FLAIR MR image.
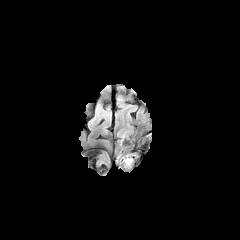
T1-weighted magnetic resonance.
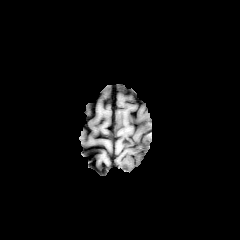
Post-contrast T1-weighted MR.
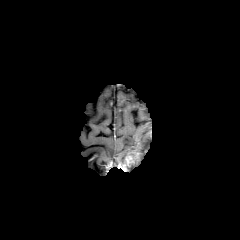
T2-weighted magnetic resonance.
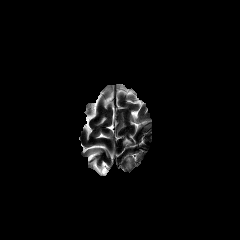
Brain. 240x240.
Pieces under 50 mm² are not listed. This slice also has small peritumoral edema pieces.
enhancing tumor: bounding box 125,155,133,165